Axial slice | Slice 43 of 155 | Brain | Image width 240 mm, 1.00 mm slice spacing
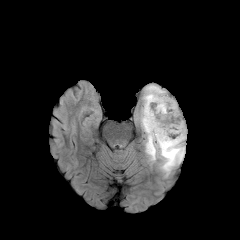
FLAIR MRI.
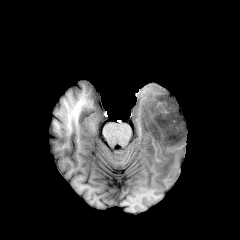
Same slice, T1-weighted MRI.
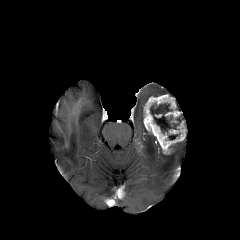
Post-contrast T1-weighted MR image of the same slice.
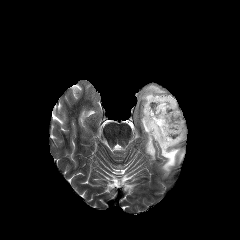
T2-weighted MR.
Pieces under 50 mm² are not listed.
<segmentation>
  <necrotic_tumor_core>box=[150, 103, 178, 132]</necrotic_tumor_core>
  <enhancing_tumor>box=[143, 94, 186, 154]</enhancing_tumor>
  <peritumoral_edema>box=[142, 85, 166, 105]; box=[140, 108, 184, 176]</peritumoral_edema>
</segmentation>